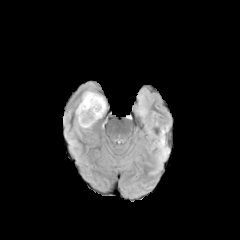
FLAIR MR.
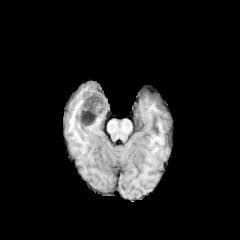
T1-weighted magnetic resonance.
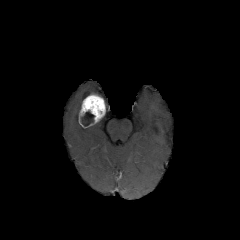
Post-contrast T1-weighted MR of the same slice.
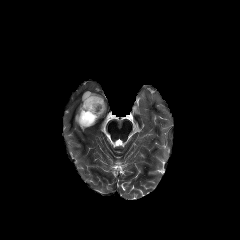
T2-weighted MRI of the same slice.
Brain; Axial slice
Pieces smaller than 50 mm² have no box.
necrotic tumor core — bbox=[81, 111, 94, 126]
enhancing tumor — bbox=[78, 93, 105, 127]
peritumoral edema — bbox=[73, 102, 86, 129]